240x240 px | Image width 240 mm, 1.00 mm slice spacing | Slice index 50
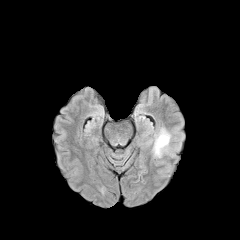
FLAIR MR image.
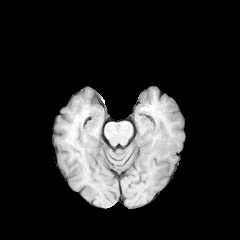
Same slice, T1-weighted MRI.
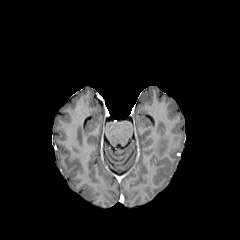
Post-contrast T1-weighted MRI.
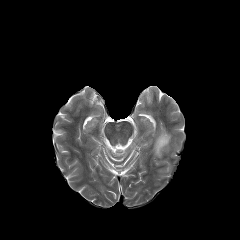
Same slice, T2-weighted MR.
• peritumoral edema: 153, 129, 170, 157